FLAIR MRI.
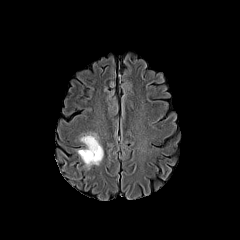
T1-weighted MRI.
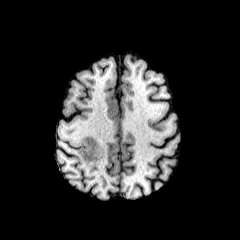
Post-contrast T1-weighted magnetic resonance.
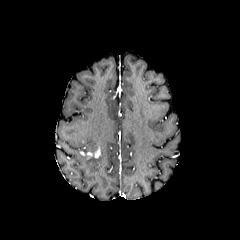
T2-weighted MR.
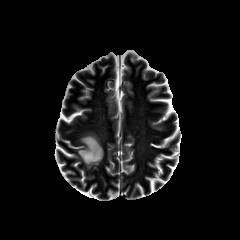
Head
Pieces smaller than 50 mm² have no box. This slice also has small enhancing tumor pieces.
{
  "peritumoral_edema": [
    "(x1=77, y1=133, x2=103, y2=168)"
  ]
}